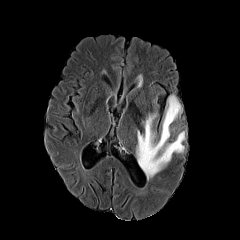
FLAIR MRI.
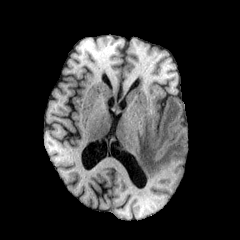
T1-weighted MR of the same slice.
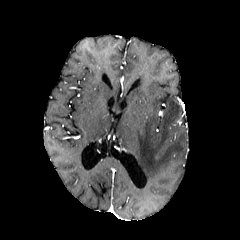
Post-contrast T1-weighted MR image.
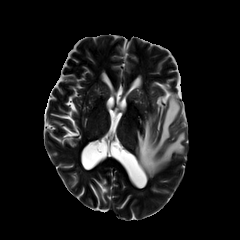
T2-weighted MR image.
Axial view; Brain
peritumoral edema: bbox(136, 95, 185, 179)